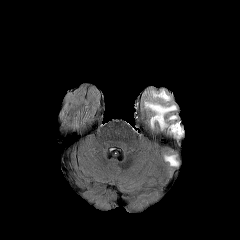
FLAIR MR.
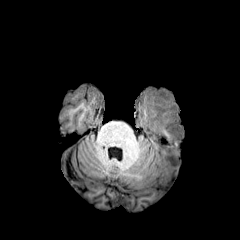
T1-weighted MRI.
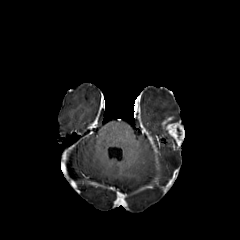
Same slice, post-contrast T1-weighted MR image.
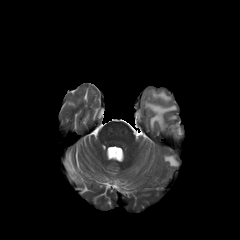
T2-weighted MRI of the same slice.
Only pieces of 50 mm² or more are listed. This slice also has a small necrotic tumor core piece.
{"peritumoral_edema": ["rect(165, 156, 177, 165)", "rect(153, 91, 169, 100)", "rect(145, 102, 175, 128)"], "enhancing_tumor": ["rect(161, 116, 184, 145)"]}